FLAIR magnetic resonance.
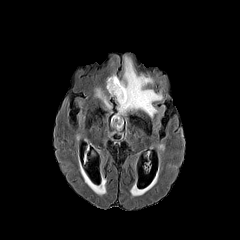
T1-weighted MRI.
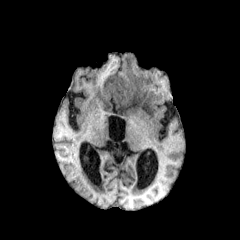
Post-contrast T1-weighted magnetic resonance.
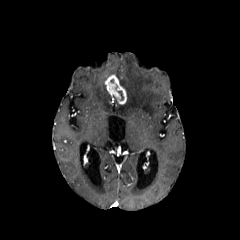
T2-weighted MR.
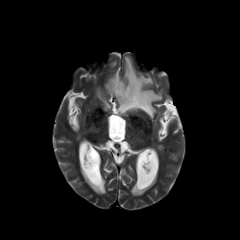
240x240 px; Head
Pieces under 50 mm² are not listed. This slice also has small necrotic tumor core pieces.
enhancing tumor: bounding box region(105, 75, 126, 104)
peritumoral edema: bounding box region(117, 56, 162, 117); region(95, 88, 111, 109); region(89, 184, 105, 195)